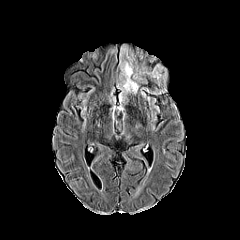
FLAIR magnetic resonance.
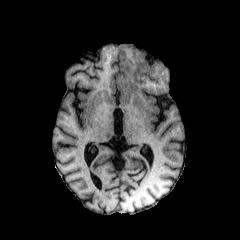
T1-weighted MR image of the same slice.
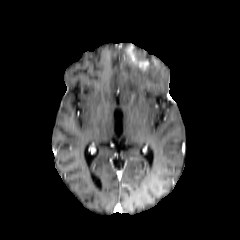
Post-contrast T1-weighted MR image of the same slice.
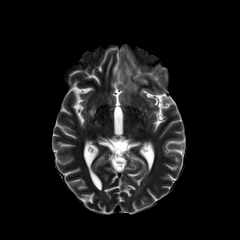
Same slice, T2-weighted magnetic resonance.
Axial plane
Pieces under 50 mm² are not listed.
The 2 largest peritumoral edema regions are located at box(147, 64, 162, 79); box(121, 47, 138, 92). The enhancing tumor is bounded by box(126, 45, 148, 69).